FLAIR MR.
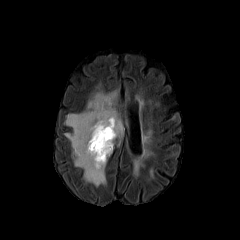
T1-weighted magnetic resonance.
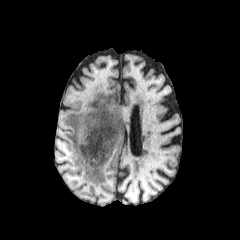
Post-contrast T1-weighted MR.
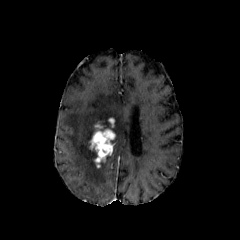
T2-weighted MR image.
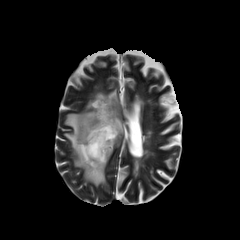
Axial view. Head. 240x240.
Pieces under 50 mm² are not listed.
enhancing tumor: bounding box (89,121,115,167), (108,118,114,128)
peritumoral edema: bounding box (64,91,124,186)
necrotic tumor core: bounding box (102,121,111,130)